Brain. Axial plane.
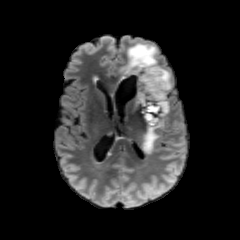
FLAIR MR image.
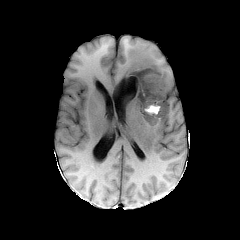
Same slice, T1-weighted MRI.
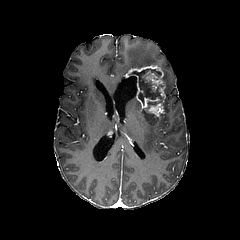
Post-contrast T1-weighted MRI of the same slice.
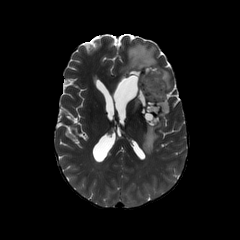
T2-weighted MR image.
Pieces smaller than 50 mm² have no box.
peritumoral edema: bounding box 142 119 163 153, 160 100 169 117, 161 67 170 90, 120 42 160 80
enhancing tumor: bounding box 124 64 166 116
necrotic tumor core: bounding box 143 112 157 125, 131 68 161 103